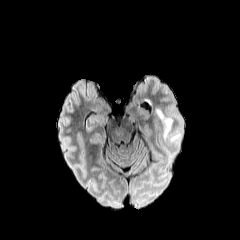
FLAIR MR.
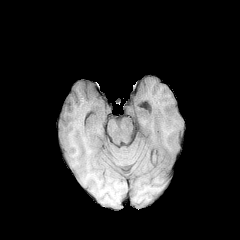
T1-weighted MR image.
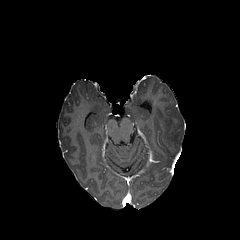
Same slice, post-contrast T1-weighted MRI.
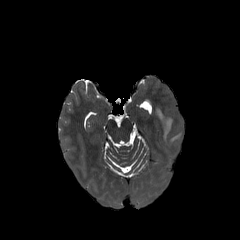
T2-weighted MRI.
Axial slice. Brain.
peritumoral edema: [155, 108, 181, 145]